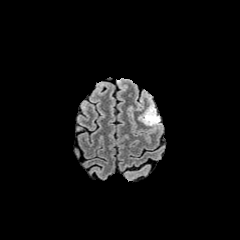
FLAIR MR image.
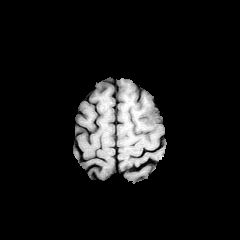
T1-weighted magnetic resonance.
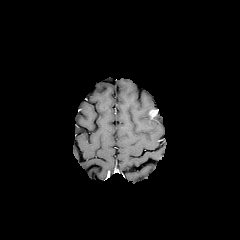
Same slice, post-contrast T1-weighted magnetic resonance.
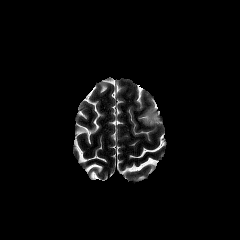
Same slice, T2-weighted MRI.
Axial slice
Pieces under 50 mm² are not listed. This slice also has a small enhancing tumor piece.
peritumoral edema at box=[138, 96, 161, 130]